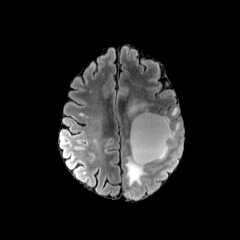
FLAIR MR.
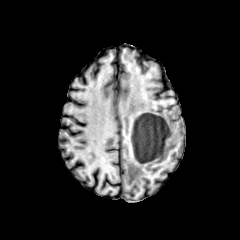
Same slice, T1-weighted magnetic resonance.
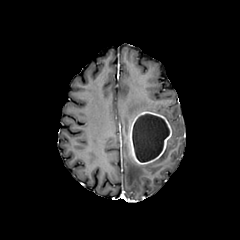
Post-contrast T1-weighted MR image.
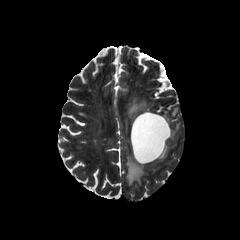
T2-weighted magnetic resonance.
240x240; Axial slice; Brain
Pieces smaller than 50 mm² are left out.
Annotated regions:
* enhancing tumor: x1=130 y1=111 x2=171 y2=164
* peritumoral edema: x1=170 y1=123 x2=179 y2=138, x1=128 y1=98 x2=149 y2=118, x1=126 y1=156 x2=145 y2=185, x1=158 y1=141 x2=168 y2=159
* necrotic tumor core: x1=132 y1=114 x2=169 y2=162